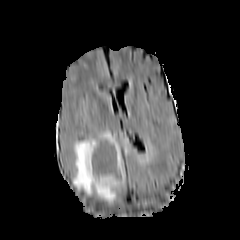
FLAIR MR.
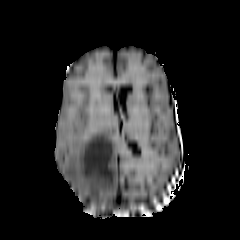
T1-weighted MR image.
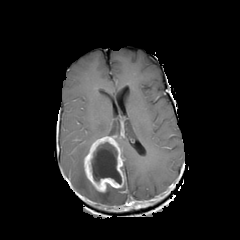
Post-contrast T1-weighted magnetic resonance.
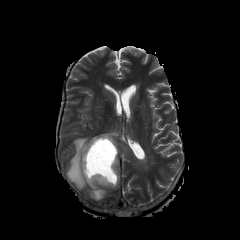
Same slice, T2-weighted magnetic resonance.
240x240. Brain.
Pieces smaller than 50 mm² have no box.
The 2 largest peritumoral edema regions are located at [x1=72, y1=131, x2=115, y2=201], [x1=122, y1=138, x2=130, y2=154]. The necrotic tumor core is located at [x1=91, y1=142, x2=121, y2=184]. The enhancing tumor is located at [x1=84, y1=136, x2=124, y2=192].